Axial plane | Slice index 122 | Brain
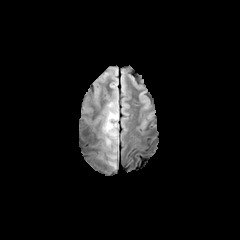
FLAIR MRI.
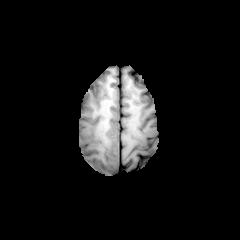
T1-weighted magnetic resonance.
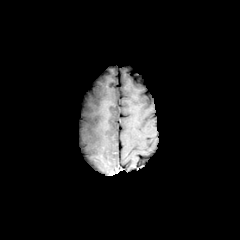
Post-contrast T1-weighted MR.
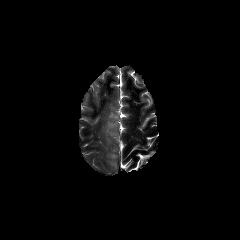
T2-weighted MR image.
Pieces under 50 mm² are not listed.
<segmentation>
  <peritumoral_edema>bbox(104, 112, 118, 140)</peritumoral_edema>
</segmentation>